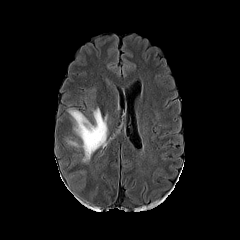
FLAIR MR image.
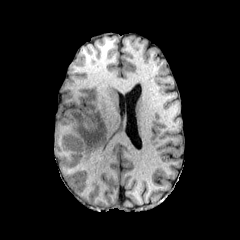
T1-weighted magnetic resonance.
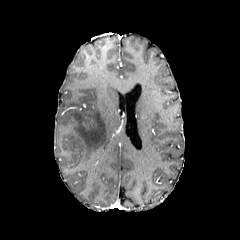
Post-contrast T1-weighted MR.
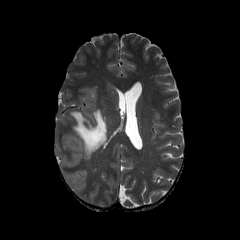
Same slice, T2-weighted MRI.
Axial view; Head
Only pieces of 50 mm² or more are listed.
{"peritumoral_edema": ["box=[67, 106, 109, 161]"]}